FLAIR MRI.
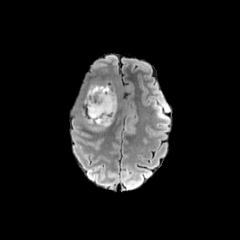
T1-weighted magnetic resonance.
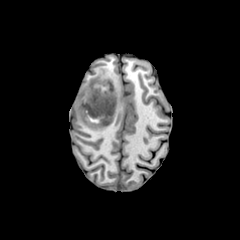
Post-contrast T1-weighted MR image.
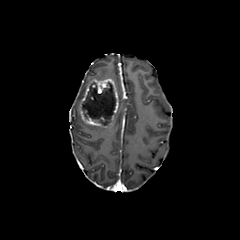
T2-weighted magnetic resonance.
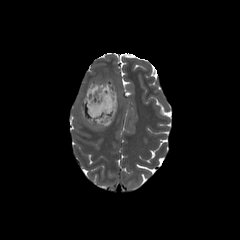
Brain. Axial plane. 240x240 px.
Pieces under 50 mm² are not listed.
peritumoral edema: box(89, 125, 106, 132) | enhancing tumor: box(78, 78, 118, 127) | necrotic tumor core: box(82, 82, 115, 125)